Head | Axial slice
FLAIR magnetic resonance.
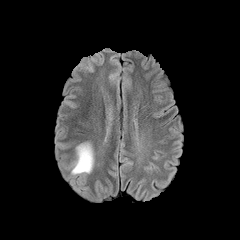
T1-weighted MRI.
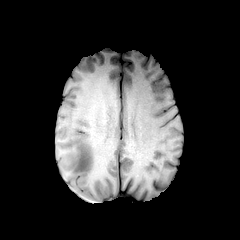
Post-contrast T1-weighted MR image.
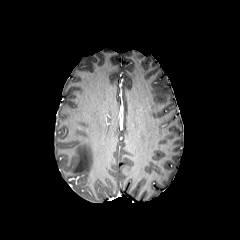
T2-weighted magnetic resonance.
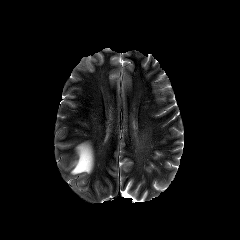
peritumoral edema: rect(71, 142, 93, 174)